Image width 240 mm, 1.00 mm slice spacing. Head.
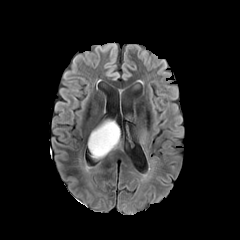
FLAIR MR image.
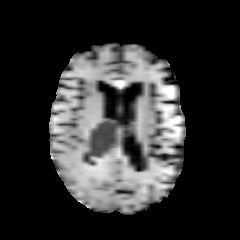
T1-weighted MR of the same slice.
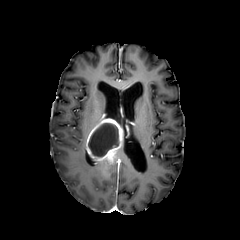
Same slice, post-contrast T1-weighted magnetic resonance.
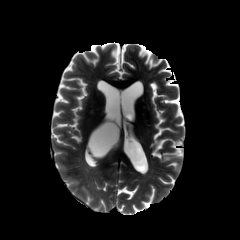
T2-weighted MR.
<segmentation>
  <enhancing_tumor>left=86, top=118, right=122, bottom=164</enhancing_tumor>
  <necrotic_tumor_core>left=88, top=123, right=118, bottom=156</necrotic_tumor_core>
</segmentation>